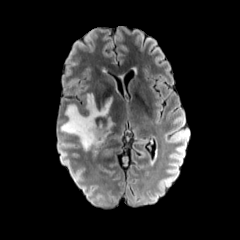
FLAIR magnetic resonance.
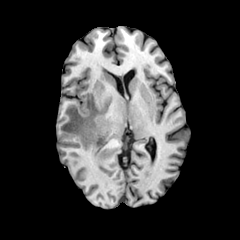
T1-weighted MR image of the same slice.
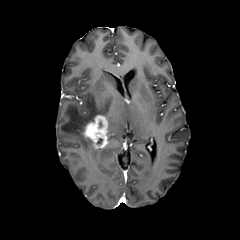
Post-contrast T1-weighted MR image of the same slice.
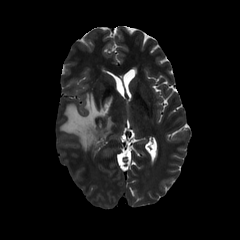
T2-weighted MR image.
Axial plane. Head.
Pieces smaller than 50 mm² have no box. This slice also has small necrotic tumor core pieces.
peritumoral edema: bounding box [x1=60, y1=94, x2=112, y2=150], [x1=107, y1=117, x2=114, y2=134]
enhancing tumor: bounding box [x1=82, y1=115, x2=108, y2=149]